Axial plane; Brain; Image width 240 mm
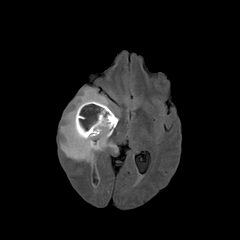
FLAIR MR image.
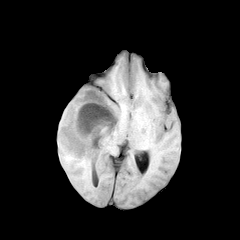
T1-weighted MR image of the same slice.
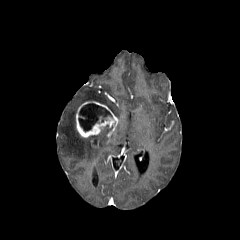
Post-contrast T1-weighted magnetic resonance of the same slice.
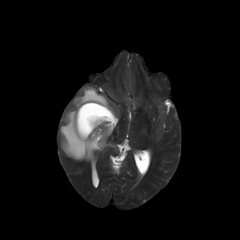
T2-weighted magnetic resonance.
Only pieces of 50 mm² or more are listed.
{"necrotic_tumor_core": ["x1=78, y1=103, x2=112, y2=131"], "peritumoral_edema": ["x1=60, y1=87, x2=118, y2=161"], "enhancing_tumor": ["x1=76, y1=101, x2=118, y2=137"]}